Image size 240x240
FLAIR MR.
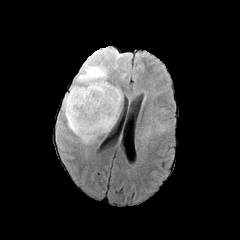
T1-weighted MRI.
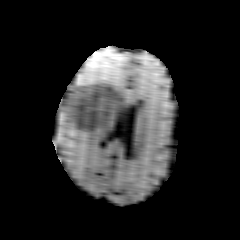
Post-contrast T1-weighted magnetic resonance.
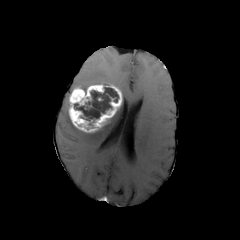
T2-weighted MRI.
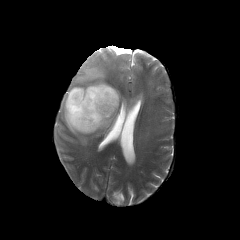
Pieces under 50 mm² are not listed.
Annotated regions:
* enhancing tumor: <bbox>67, 83, 122, 132</bbox>
* peritumoral edema: <bbox>61, 93, 122, 144</bbox>, <bbox>69, 63, 107, 92</bbox>
* necrotic tumor core: <bbox>74, 88, 118, 119</bbox>